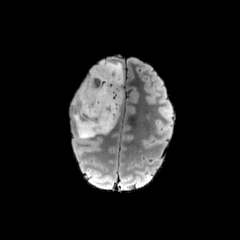
FLAIR magnetic resonance.
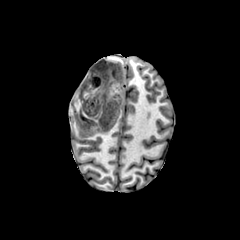
T1-weighted MR.
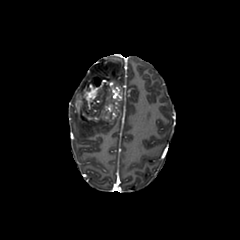
Post-contrast T1-weighted MRI.
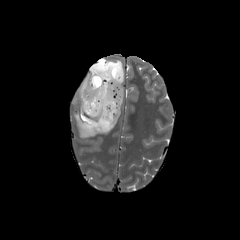
T2-weighted MR image.
Axial view. Brain.
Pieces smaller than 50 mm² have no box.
enhancing tumor = left=75, top=71, right=122, bottom=123
peritumoral edema = left=73, top=61, right=123, bottom=105; left=73, top=107, right=120, bottom=138
necrotic tumor core = left=90, top=76, right=102, bottom=86